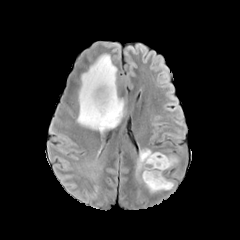
FLAIR magnetic resonance.
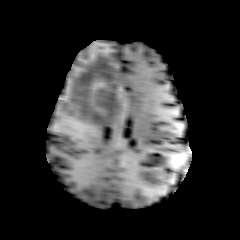
T1-weighted MR image of the same slice.
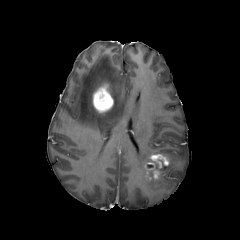
Same slice, post-contrast T1-weighted magnetic resonance.
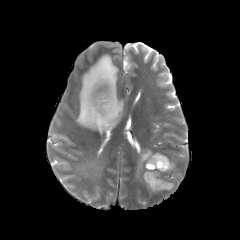
T2-weighted MR image.
Brain
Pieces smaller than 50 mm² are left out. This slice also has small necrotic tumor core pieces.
peritumoral edema: x1=76 y1=54 x2=124 y2=133, x1=136 y1=149 x2=178 y2=191 | enhancing tumor: x1=145 y1=154 x2=168 y2=179, x1=92 y1=83 x2=113 y2=113